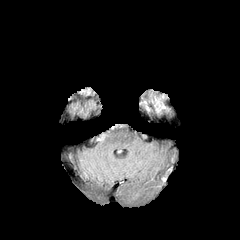
FLAIR MRI.
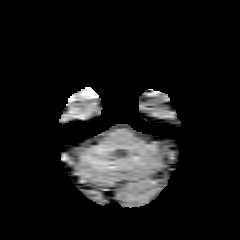
T1-weighted magnetic resonance.
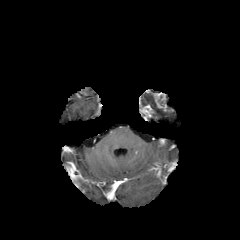
Post-contrast T1-weighted MRI of the same slice.
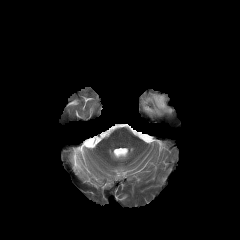
Same slice, T2-weighted magnetic resonance.
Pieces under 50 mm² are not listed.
The largest peritumoral edema region is bounded by {"x1": 151, "y1": 99, "x2": 162, "y2": 113}. 2 enhancing tumor regions are bounded by {"x1": 154, "y1": 93, "x2": 168, "y2": 111}, {"x1": 142, "y1": 105, "x2": 154, "y2": 116}.